FLAIR MR image.
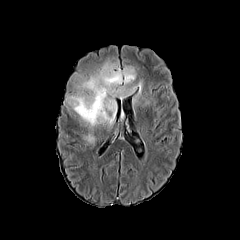
T1-weighted MR image.
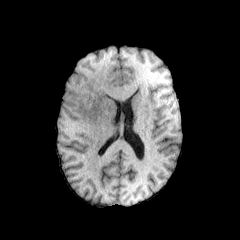
Post-contrast T1-weighted magnetic resonance.
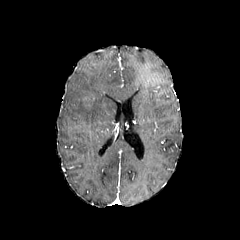
T2-weighted MR.
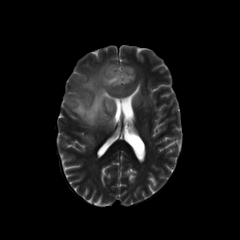
240x240 px. Axial plane. Brain.
peritumoral_edema:
  - box(67, 62, 144, 126)